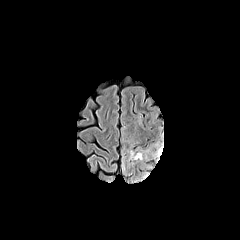
FLAIR MR image.
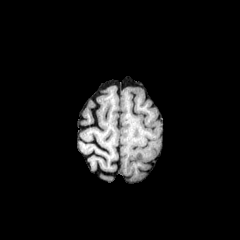
T1-weighted MR of the same slice.
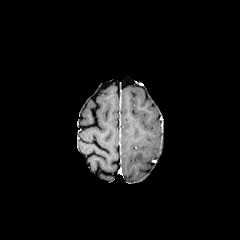
Post-contrast T1-weighted MR image of the same slice.
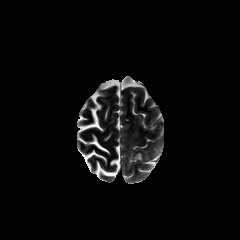
Same slice, T2-weighted MRI.
240x240 px
The peritumoral edema appears at (119,127,163,175).